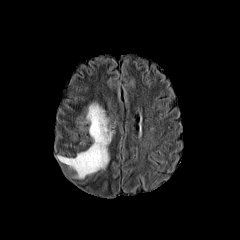
FLAIR magnetic resonance.
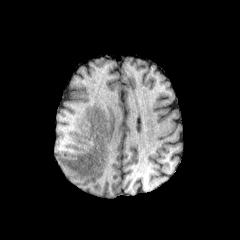
Same slice, T1-weighted MR image.
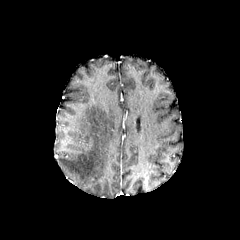
Post-contrast T1-weighted MR image of the same slice.
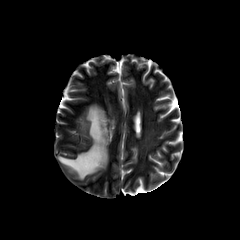
Same slice, T2-weighted MR.
Axial slice, Image size 240x240
The peritumoral edema is located at x1=57 y1=101 x2=113 y2=179.